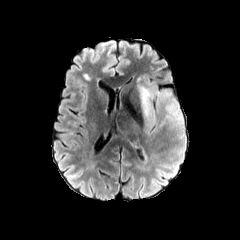
FLAIR magnetic resonance.
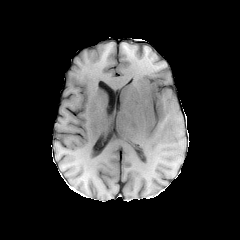
Same slice, T1-weighted MR image.
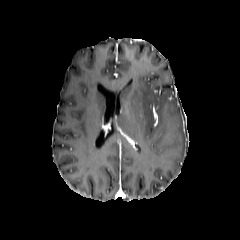
Post-contrast T1-weighted MR image of the same slice.
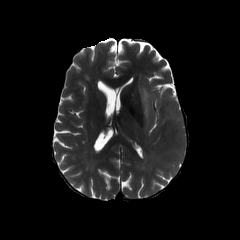
T2-weighted MR image.
Axial plane, Brain
peritumoral edema: 138:76:181:131